Slice 88/155; Brain; 240x240
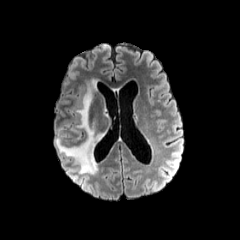
FLAIR MR image.
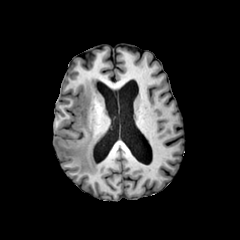
T1-weighted MR image.
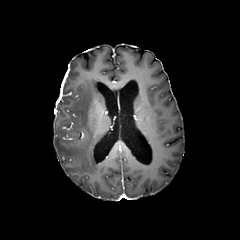
Post-contrast T1-weighted MRI.
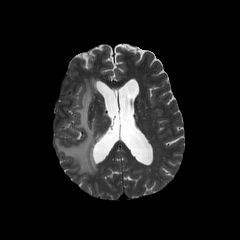
T2-weighted MR.
The peritumoral edema lies within (left=56, top=80, right=102, bottom=174).